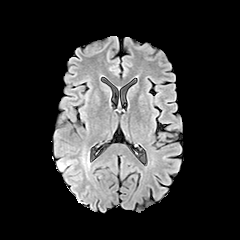
FLAIR MR.
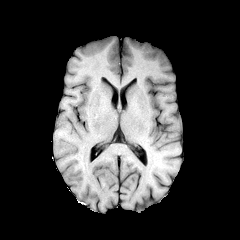
T1-weighted MRI.
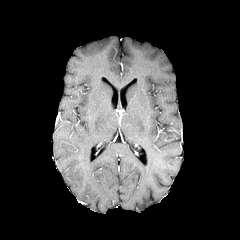
Post-contrast T1-weighted MRI.
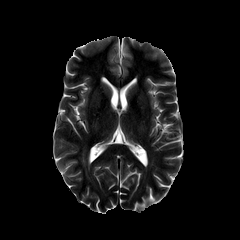
T2-weighted magnetic resonance.
Axial plane. Image size 240x240.
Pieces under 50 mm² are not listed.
The largest peritumoral edema region is bounded by x1=58, y1=161, x2=71, y2=171.